FLAIR MR.
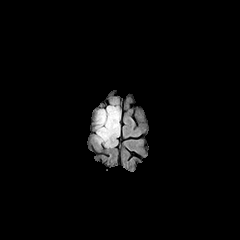
T1-weighted MR.
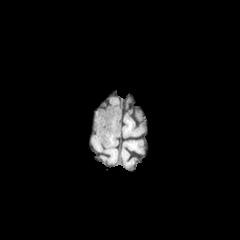
Post-contrast T1-weighted MR image.
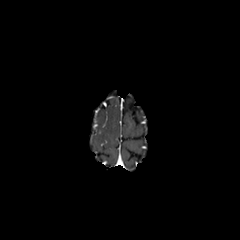
T2-weighted MR.
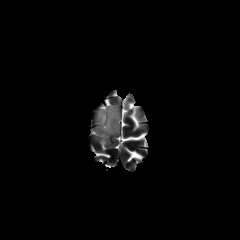
peritumoral edema — {"x1": 95, "y1": 106, "x2": 120, "y2": 147}